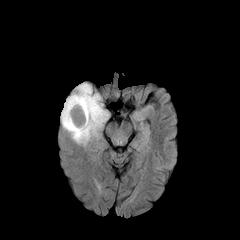
FLAIR MRI.
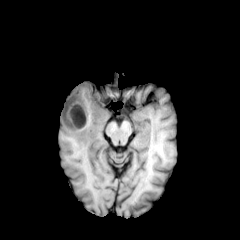
Same slice, T1-weighted magnetic resonance.
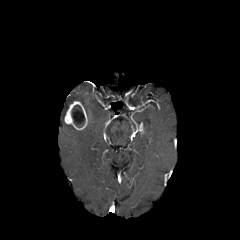
Post-contrast T1-weighted magnetic resonance of the same slice.
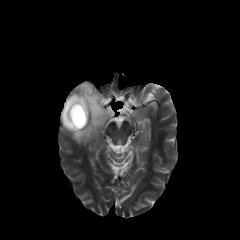
Same slice, T2-weighted MR.
Axial view | 240x240
The enhancing tumor appears at box(64, 101, 87, 130). The necrotic tumor core appears at box(72, 105, 84, 127). The peritumoral edema is at box(60, 83, 109, 145).